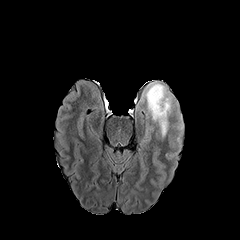
FLAIR MRI.
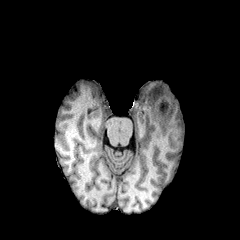
T1-weighted MR of the same slice.
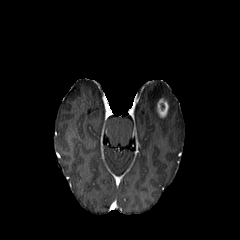
Post-contrast T1-weighted magnetic resonance.
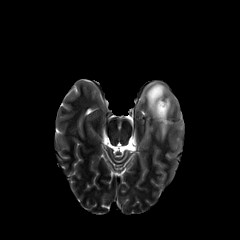
T2-weighted MRI.
Image size 240x240, Axial view
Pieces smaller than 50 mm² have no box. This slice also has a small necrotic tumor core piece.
{"enhancing_tumor": ["<bbox>156, 98, 168, 118</bbox>"], "peritumoral_edema": ["<bbox>141, 81, 175, 137</bbox>", "<bbox>179, 113, 184, 129</bbox>"]}